Slice 89 of 155 | Head
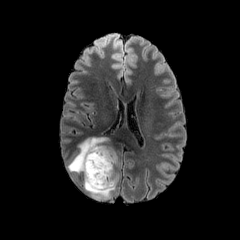
FLAIR MR.
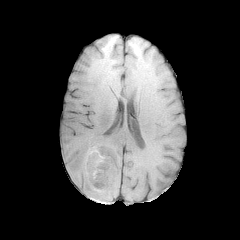
T1-weighted MR.
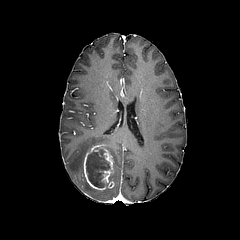
Post-contrast T1-weighted MR image of the same slice.
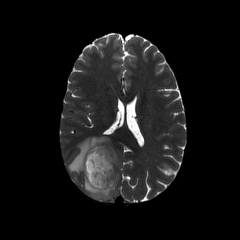
T2-weighted MR.
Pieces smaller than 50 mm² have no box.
<segmentation>
  <peritumoral_edema>(67,137,118,200)</peritumoral_edema>
  <enhancing_tumor>(83,144,114,190)</enhancing_tumor>
  <necrotic_tumor_core>(86,147,110,187)</necrotic_tumor_core>
</segmentation>